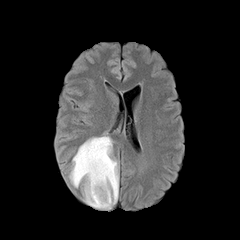
FLAIR MR.
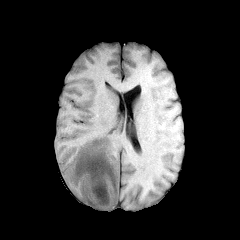
T1-weighted MR.
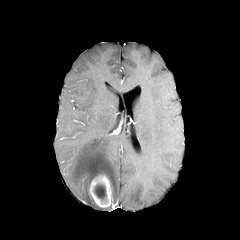
Same slice, post-contrast T1-weighted MR.
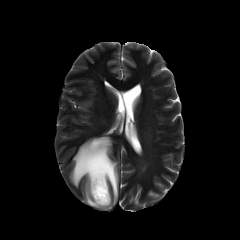
T2-weighted MR image.
Brain; 240x240
enhancing tumor: [89, 174, 112, 207]
peritumoral edema: [69, 135, 118, 209]
necrotic tumor core: [94, 184, 106, 199]